FLAIR MR image.
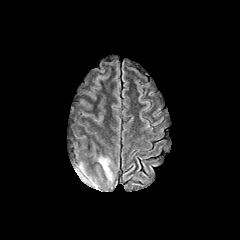
T1-weighted MR.
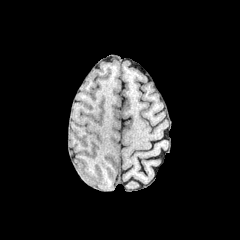
Post-contrast T1-weighted magnetic resonance.
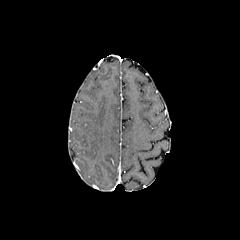
T2-weighted MR image.
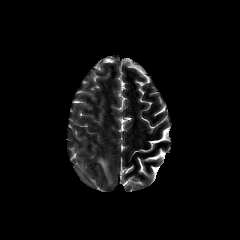
Brain.
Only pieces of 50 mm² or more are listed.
peritumoral edema at <box>99,158,112,181</box>